Brain.
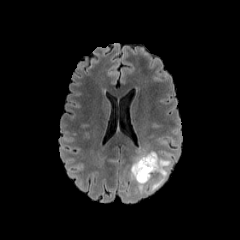
FLAIR MR.
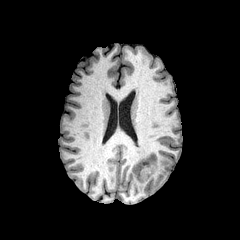
T1-weighted magnetic resonance.
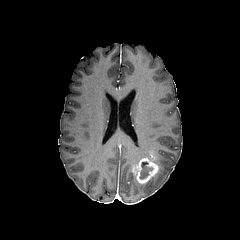
Post-contrast T1-weighted MRI.
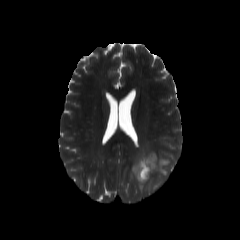
T2-weighted magnetic resonance.
The peritumoral edema appears at bbox(129, 150, 176, 194). The necrotic tumor core lies within bbox(140, 161, 153, 179). The enhancing tumor lies within bbox(133, 154, 160, 183).